Slice 124/155.
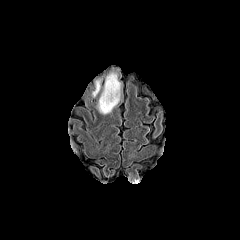
FLAIR MR image.
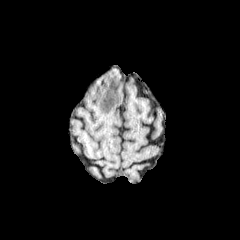
Same slice, T1-weighted MR image.
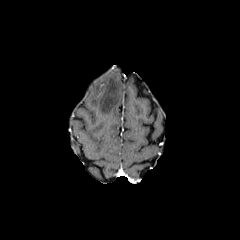
Same slice, post-contrast T1-weighted magnetic resonance.
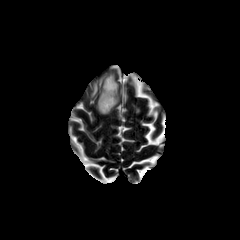
T2-weighted MRI of the same slice.
peritumoral edema: [92,79,100,96], [97,73,120,114]